FLAIR MR.
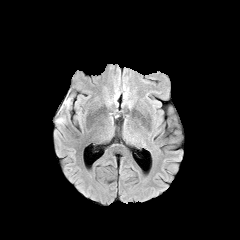
T1-weighted MRI.
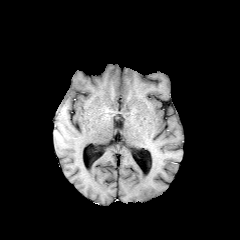
Post-contrast T1-weighted magnetic resonance.
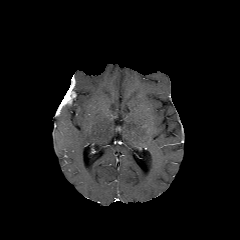
T2-weighted MR.
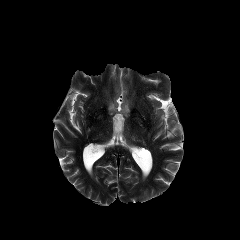
Axial slice, Brain
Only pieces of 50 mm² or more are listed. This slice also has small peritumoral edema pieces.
Findings:
- enhancing tumor: {"x1": 56, "y1": 83, "x2": 74, "y2": 114}